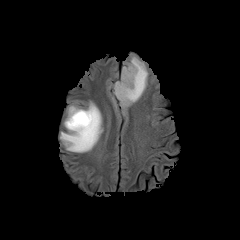
FLAIR MR image.
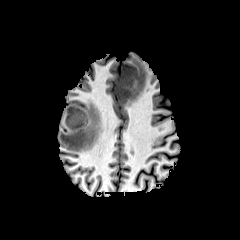
Same slice, T1-weighted MR.
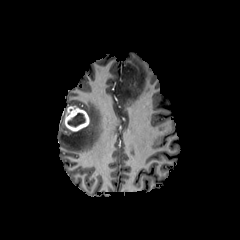
Same slice, post-contrast T1-weighted MRI.
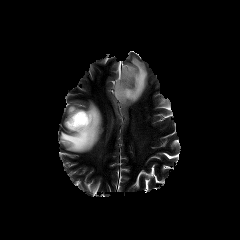
T2-weighted magnetic resonance.
Head, Axial slice
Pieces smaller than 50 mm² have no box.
<segmentation>
  <peritumoral_edema>(114, 56, 148, 108), (60, 101, 103, 152)</peritumoral_edema>
  <enhancing_tumor>(65, 106, 89, 131)</enhancing_tumor>
  <necrotic_tumor_core>(68, 113, 85, 126)</necrotic_tumor_core>
</segmentation>